FLAIR MR.
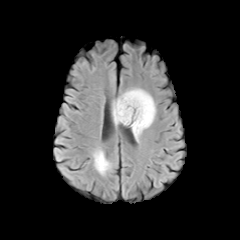
T1-weighted MR image.
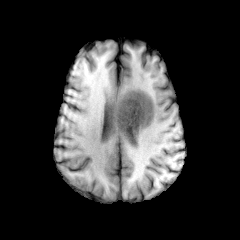
Post-contrast T1-weighted MR image.
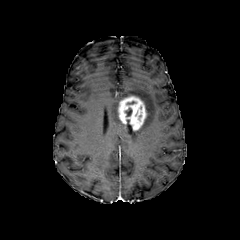
T2-weighted MR image.
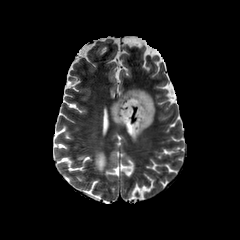
Head, Axial slice
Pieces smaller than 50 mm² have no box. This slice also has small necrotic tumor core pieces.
<segmentation>
  <enhancing_tumor>rect(117, 95, 147, 130)</enhancing_tumor>
  <peritumoral_edema>rect(112, 89, 155, 138); rect(94, 150, 108, 173)</peritumoral_edema>
</segmentation>